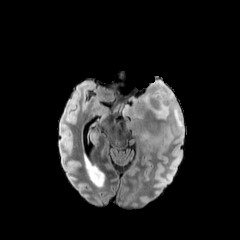
FLAIR magnetic resonance.
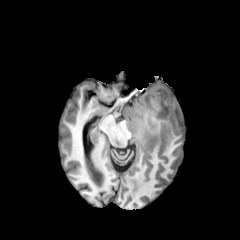
Same slice, T1-weighted MR.
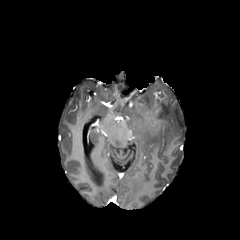
Post-contrast T1-weighted MRI.
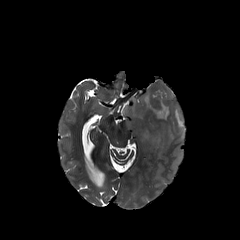
T2-weighted magnetic resonance of the same slice.
Axial slice; Brain; 240x240 px
peritumoral edema — box=[122, 80, 183, 148]
enhancing tumor — box=[154, 91, 166, 104]; box=[153, 107, 160, 114]